FLAIR magnetic resonance.
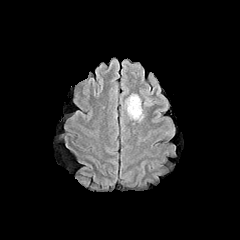
T1-weighted MRI.
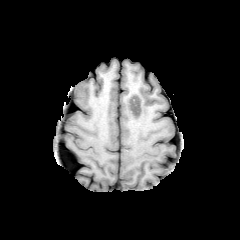
Post-contrast T1-weighted magnetic resonance.
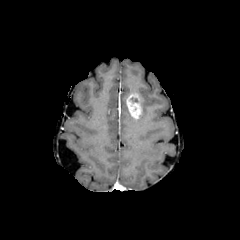
T2-weighted MR image.
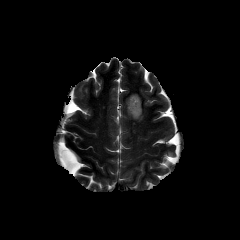
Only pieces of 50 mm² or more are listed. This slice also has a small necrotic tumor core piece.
{"peritumoral_edema": ["bbox=[125, 101, 144, 121]"], "enhancing_tumor": ["bbox=[126, 94, 141, 118]"]}